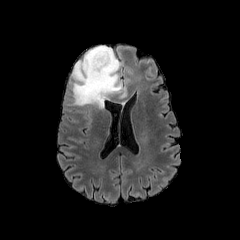
FLAIR MR.
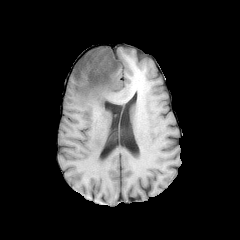
T1-weighted MR.
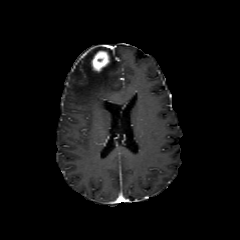
Post-contrast T1-weighted MR of the same slice.
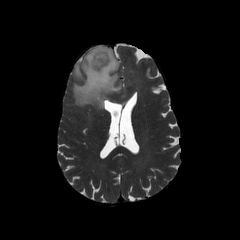
T2-weighted MR of the same slice.
Axial slice
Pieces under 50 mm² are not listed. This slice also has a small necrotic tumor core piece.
Findings:
* peritumoral edema: 71, 46, 126, 109
* enhancing tumor: 91, 51, 110, 71